Image width 240 mm, 1.00 mm slice spacing | Slice 120/155
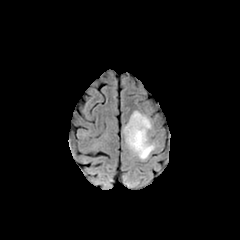
FLAIR magnetic resonance.
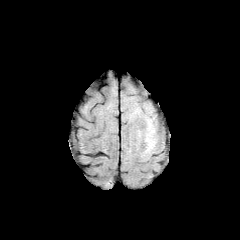
T1-weighted MR image of the same slice.
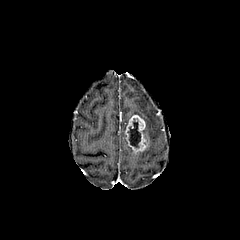
Post-contrast T1-weighted MR of the same slice.
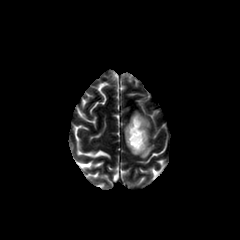
T2-weighted MR image.
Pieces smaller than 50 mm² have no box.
peritumoral edema: [x1=125, y1=111, x2=155, y2=159]
enhancing tumor: [x1=125, y1=115, x2=148, y2=154]
necrotic tumor core: [x1=128, y1=119, x2=140, y2=147]